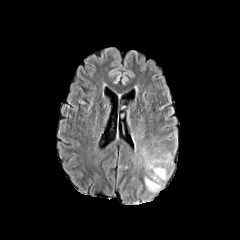
FLAIR MR.
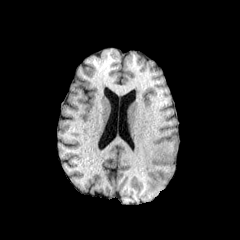
T1-weighted magnetic resonance of the same slice.
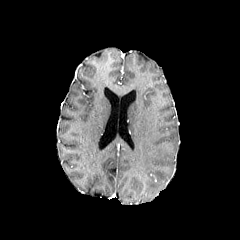
Post-contrast T1-weighted MR of the same slice.
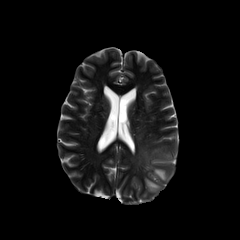
T2-weighted MR image of the same slice.
Axial plane. Image size 240x240. Head.
peritumoral edema: bbox=[141, 149, 172, 192]